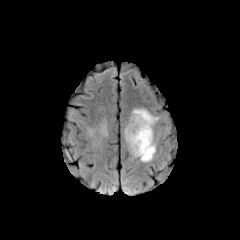
FLAIR MR.
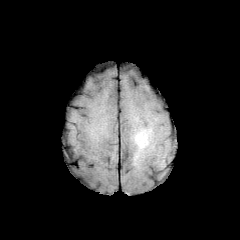
Same slice, T1-weighted MR image.
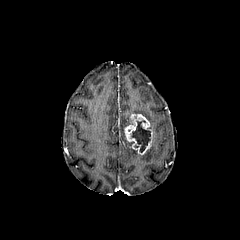
Post-contrast T1-weighted MRI of the same slice.
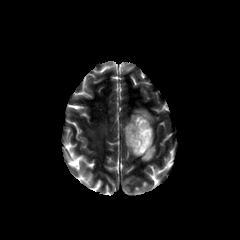
T2-weighted magnetic resonance.
Axial plane
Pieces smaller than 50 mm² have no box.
enhancing tumor — bbox(124, 114, 152, 155)
necrotic tumor core — bbox(131, 120, 150, 152)
peritumoral edema — bbox(125, 108, 158, 161)